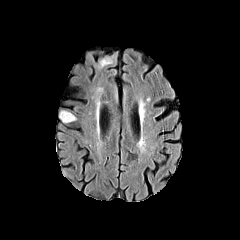
FLAIR MR image.
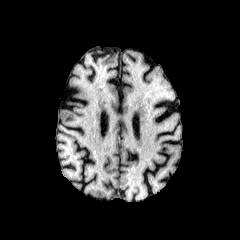
T1-weighted MRI.
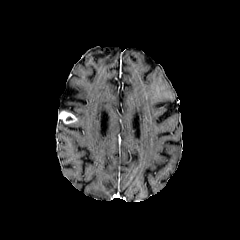
Post-contrast T1-weighted magnetic resonance of the same slice.
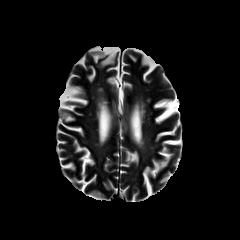
T2-weighted MRI of the same slice.
240x240. Brain. Axial slice.
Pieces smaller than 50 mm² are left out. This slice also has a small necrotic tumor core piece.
Segmented structures:
* enhancing tumor: 58,110,77,123